240x240 px. Slice 66 of 155.
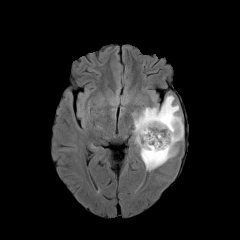
FLAIR MRI.
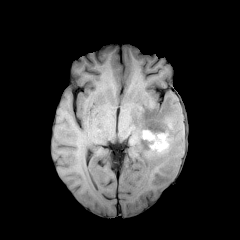
T1-weighted MR image.
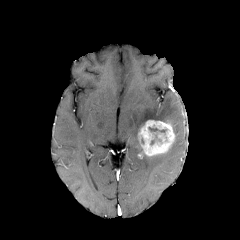
Same slice, post-contrast T1-weighted MRI.
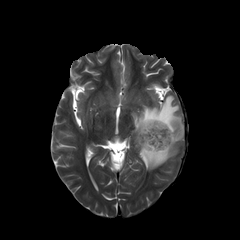
Same slice, T2-weighted MRI.
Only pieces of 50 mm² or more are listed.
necrotic tumor core: bounding box bbox(148, 127, 167, 145)
peritumoral edema: bounding box bbox(132, 95, 183, 171)
enhancing tumor: bounding box bbox(139, 120, 174, 156)